Head. Slice index 58.
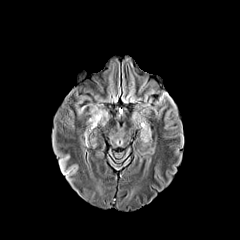
FLAIR MRI.
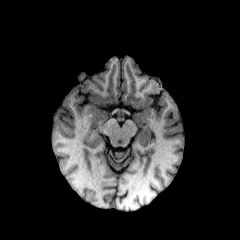
T1-weighted MR.
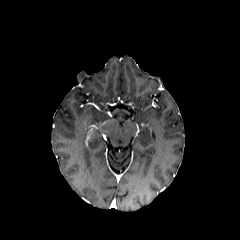
Post-contrast T1-weighted MR image.
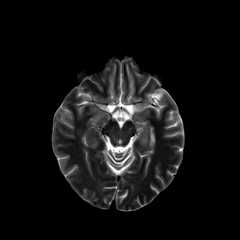
T2-weighted MR.
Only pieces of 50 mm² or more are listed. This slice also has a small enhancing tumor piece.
The peritumoral edema is at 89,112,103,124.